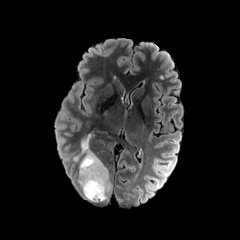
FLAIR MR image.
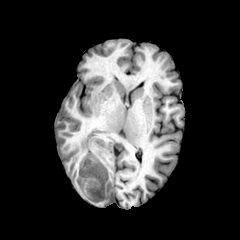
T1-weighted magnetic resonance.
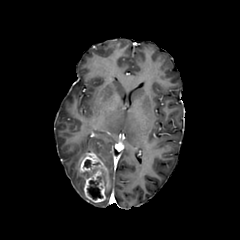
Post-contrast T1-weighted MR image.
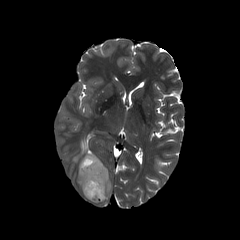
T2-weighted MR image of the same slice.
Axial slice. Head.
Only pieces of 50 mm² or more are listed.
peritumoral_edema:
  - 73:134:93:161
  - 78:164:90:200
  - 103:181:111:201
enhancing_tumor:
  - 80:152:109:202
necrotic_tumor_core:
  - 87:176:102:199
  - 84:159:91:167